Head
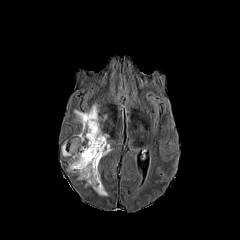
FLAIR MR.
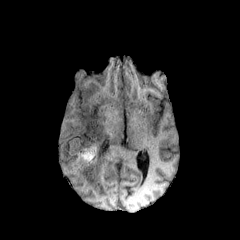
T1-weighted MRI of the same slice.
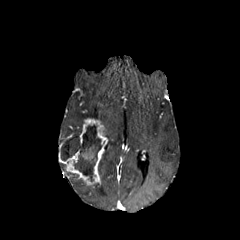
Post-contrast T1-weighted magnetic resonance of the same slice.
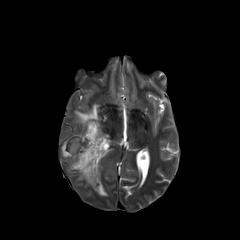
T2-weighted magnetic resonance.
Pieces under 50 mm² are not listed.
Annotated regions:
* peritumoral edema: (93, 181, 107, 196), (103, 143, 112, 156), (74, 104, 99, 126), (61, 135, 79, 157)
* enhancing tumor: (65, 118, 107, 187)
* necrotic tumor core: (74, 125, 101, 180)